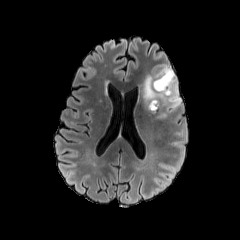
FLAIR MRI.
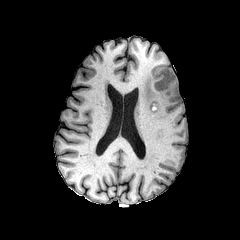
T1-weighted magnetic resonance of the same slice.
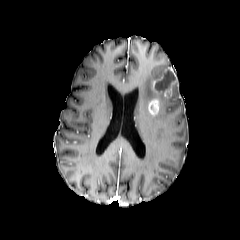
Post-contrast T1-weighted MR of the same slice.
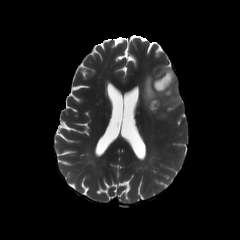
T2-weighted MR of the same slice.
Brain; Axial view; Image size 240x240
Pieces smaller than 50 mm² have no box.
* peritumoral edema: (140,66,181,117)
* necrotic tumor core: (155,70,173,90)
* enhancing tumor: (148,99,159,114), (153,67,176,97)